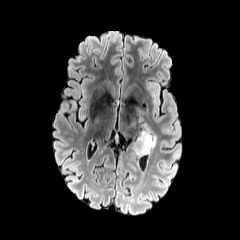
FLAIR MR image.
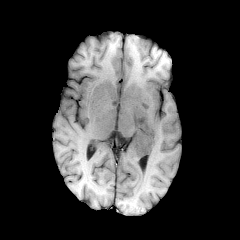
T1-weighted magnetic resonance.
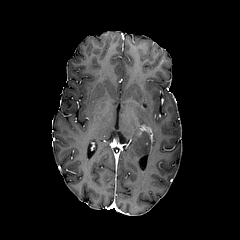
Post-contrast T1-weighted MRI.
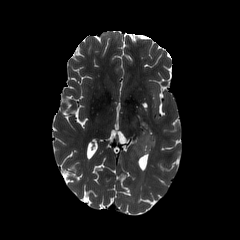
T2-weighted MR image.
240x240 px | Axial slice
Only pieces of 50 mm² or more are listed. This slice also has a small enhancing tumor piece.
Findings:
• peritumoral edema: (134, 125, 150, 154)